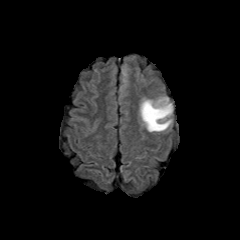
FLAIR magnetic resonance.
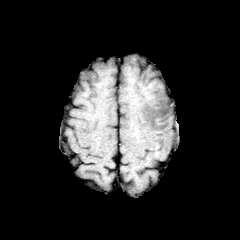
T1-weighted MRI of the same slice.
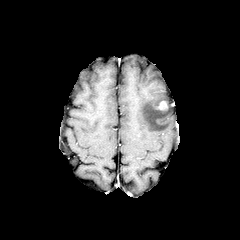
Post-contrast T1-weighted MR image of the same slice.
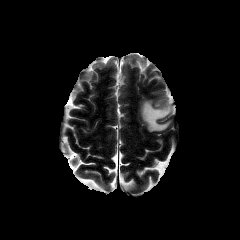
Same slice, T2-weighted MR.
<segmentation>
  <enhancing_tumor>box(158, 101, 167, 110)</enhancing_tumor>
  <peritumoral_edema>box(139, 96, 173, 131)</peritumoral_edema>
</segmentation>